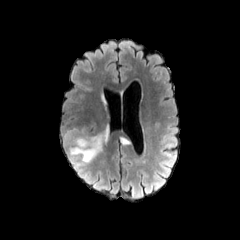
FLAIR MR.
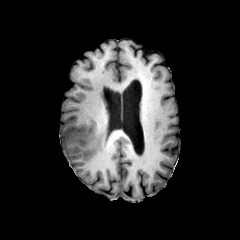
T1-weighted MR image.
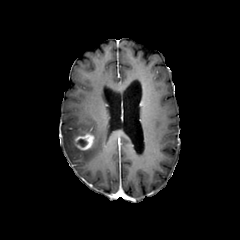
Post-contrast T1-weighted MR image of the same slice.
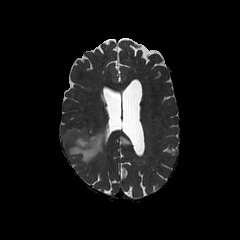
Same slice, T2-weighted MRI.
Brain | Axial view
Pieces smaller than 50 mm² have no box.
necrotic tumor core = x1=76, y1=137, x2=89, y2=147
peritumoral edema = x1=62, y1=124, x2=109, y2=162; x1=119, y1=136, x2=131, y2=145
enhancing tumor = x1=74, y1=130, x2=94, y2=150